Slice 62/155. Axial slice. 240x240 px.
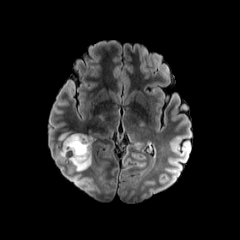
FLAIR MR image.
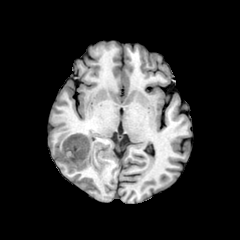
T1-weighted MR of the same slice.
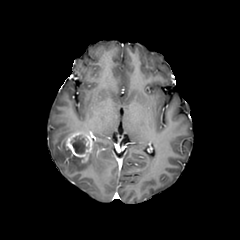
Post-contrast T1-weighted MR.
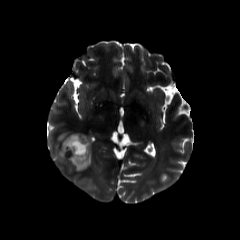
T2-weighted MRI.
necrotic tumor core at x1=71, y1=135, x2=88, y2=153
peritumoral edema at x1=68, y1=153, x2=91, y2=171; x1=57, y1=133, x2=69, y2=159
enhancing tumor at x1=65, y1=132, x2=92, y2=162